Head; Image size 240x240
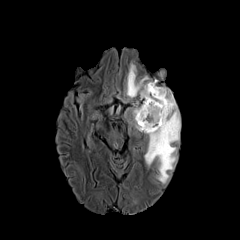
FLAIR magnetic resonance.
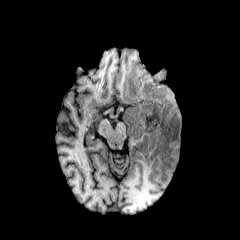
T1-weighted MRI of the same slice.
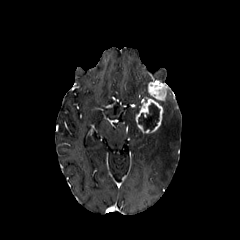
Post-contrast T1-weighted MR image of the same slice.
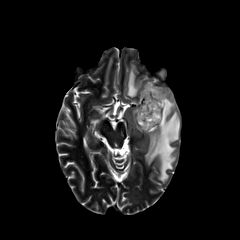
T2-weighted MRI.
peritumoral edema — {"x1": 126, "y1": 63, "x2": 150, "y2": 98}, {"x1": 144, "y1": 89, "x2": 180, "y2": 183}, {"x1": 132, "y1": 107, "x2": 141, "y2": 131}
enhancing tumor — {"x1": 135, "y1": 96, "x2": 163, "y2": 133}, {"x1": 147, "y1": 80, "x2": 167, "y2": 101}
necrotic tumor core — {"x1": 138, "y1": 103, "x2": 159, "y2": 130}